FLAIR magnetic resonance.
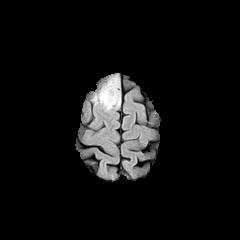
T1-weighted magnetic resonance.
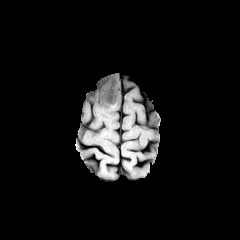
Post-contrast T1-weighted magnetic resonance.
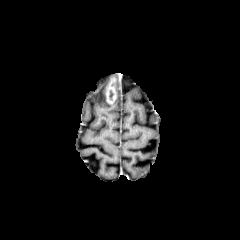
T2-weighted magnetic resonance.
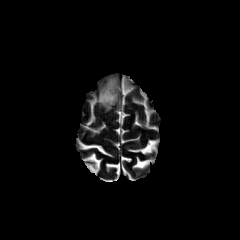
240x240
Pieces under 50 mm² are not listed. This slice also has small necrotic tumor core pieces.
{
  "peritumoral_edema": [
    "92, 76, 120, 111"
  ],
  "enhancing_tumor": [
    "106, 77, 116, 103"
  ]
}